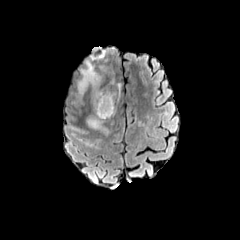
FLAIR magnetic resonance.
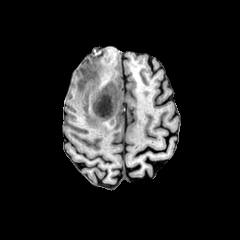
T1-weighted MR image.
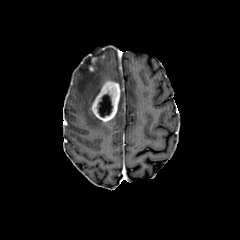
Post-contrast T1-weighted MR image.
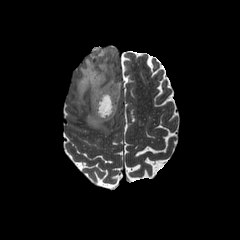
Same slice, T2-weighted magnetic resonance.
Head; 240x240; Axial slice
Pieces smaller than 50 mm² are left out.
Segmented structures:
* peritumoral edema: region(87, 115, 108, 133); region(77, 51, 104, 101)
* necrotic tumor core: region(98, 94, 112, 117)
* enhancing tumor: region(92, 80, 120, 121)